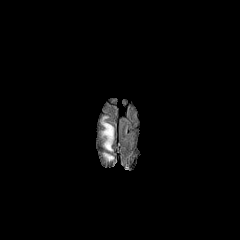
FLAIR MR.
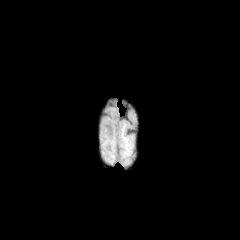
Same slice, T1-weighted MRI.
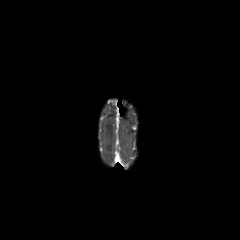
Post-contrast T1-weighted MR image.
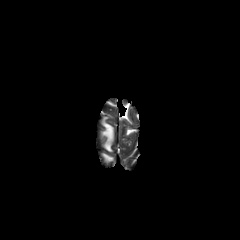
Same slice, T2-weighted MRI.
Head; Axial view
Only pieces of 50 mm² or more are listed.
{"peritumoral_edema": ["l=102, t=122, r=113, b=150"]}